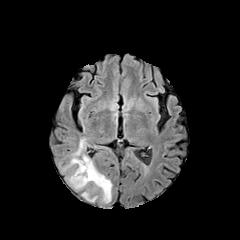
FLAIR magnetic resonance.
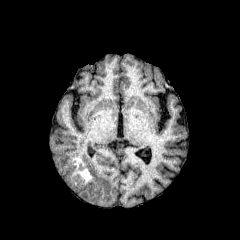
Same slice, T1-weighted MR.
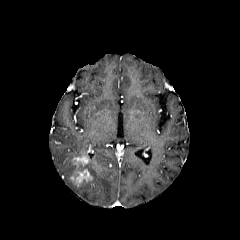
Post-contrast T1-weighted MR of the same slice.
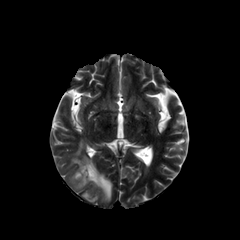
T2-weighted magnetic resonance.
240x240, Head
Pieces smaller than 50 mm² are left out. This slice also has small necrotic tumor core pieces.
peritumoral edema — x1=70, y1=160, x2=112, y2=202; x1=82, y1=192, x2=97, y2=201; x1=73, y1=139, x2=86, y2=157
enhancing tumor — x1=72, y1=155, x2=90, y2=166; x1=71, y1=171, x2=83, y2=185